240x240. Head. Image width 240 mm, 1.00 mm slice spacing.
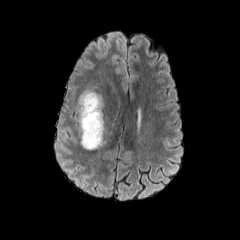
FLAIR MR image.
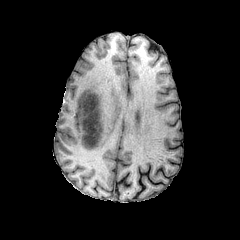
T1-weighted MRI.
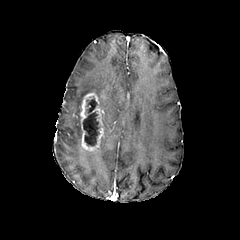
Post-contrast T1-weighted MR.
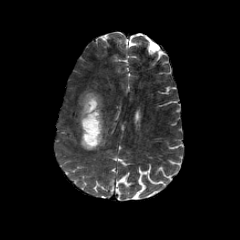
T2-weighted MR image of the same slice.
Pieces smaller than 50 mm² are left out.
peritumoral edema — [x1=77, y1=89, x2=103, y2=129]
necrotic tumor core — [x1=83, y1=110, x2=99, y2=146], [x1=86, y1=99, x2=96, y2=113]
enhancing tumor — [x1=79, y1=92, x2=103, y2=150]